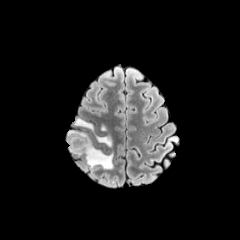
FLAIR magnetic resonance.
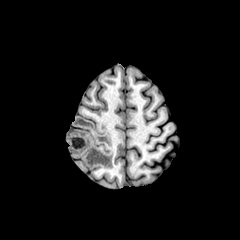
T1-weighted magnetic resonance.
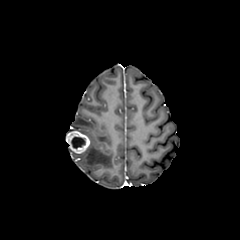
Post-contrast T1-weighted MRI of the same slice.
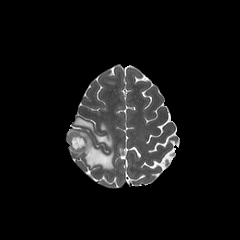
T2-weighted MRI of the same slice.
Axial plane
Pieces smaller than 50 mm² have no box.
Findings:
* necrotic tumor core: rect(71, 136, 85, 148)
* enhancing tumor: rect(66, 130, 89, 153)
* peritumoral edema: rect(69, 130, 113, 168); rect(96, 133, 112, 147); rect(73, 117, 93, 130)